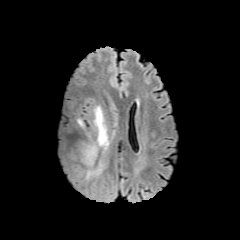
FLAIR MR image.
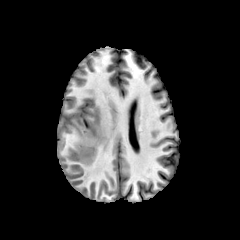
T1-weighted magnetic resonance.
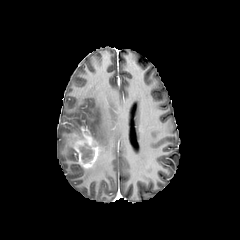
Post-contrast T1-weighted MR.
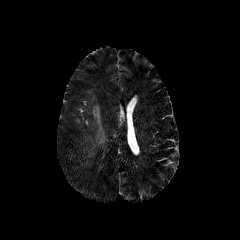
Same slice, T2-weighted MR image.
Head, Axial plane
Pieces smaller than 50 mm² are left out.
Findings:
* necrotic tumor core: (left=80, top=147, right=92, bottom=162)
* peritumoral edema: (left=86, top=105, right=115, bottom=178)
* enhancing tumor: (left=75, top=127, right=101, bottom=168)